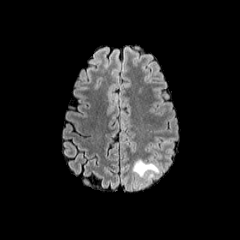
FLAIR MR image.
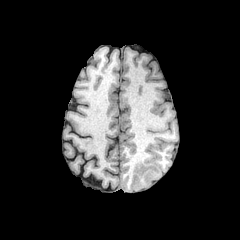
T1-weighted MR.
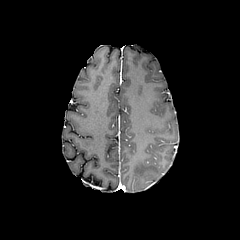
Post-contrast T1-weighted MRI.
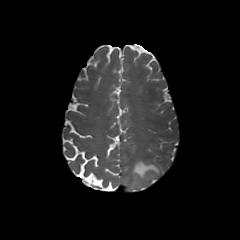
T2-weighted magnetic resonance of the same slice.
240x240 | Head | Axial view
Annotated regions:
* peritumoral edema: [133,159,159,180]